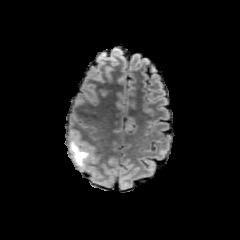
FLAIR MRI.
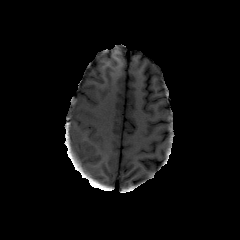
Same slice, T1-weighted MR.
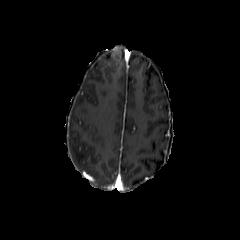
Same slice, post-contrast T1-weighted magnetic resonance.
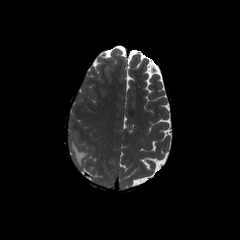
Same slice, T2-weighted magnetic resonance.
Axial slice
The peritumoral edema lies within x1=70 y1=140 x2=88 y2=166.